Slice index 78. 240x240. Image covers 240 mm x 240 mm.
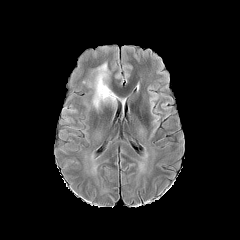
FLAIR magnetic resonance.
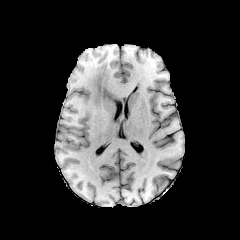
T1-weighted MR image of the same slice.
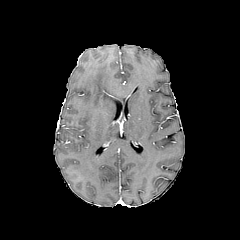
Post-contrast T1-weighted MR of the same slice.
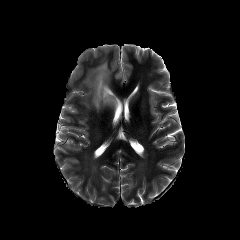
T2-weighted MR.
peritumoral_edema:
  - 87 63 117 109